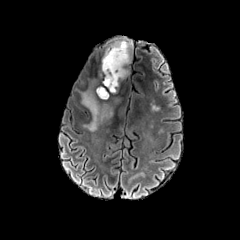
FLAIR MR image.
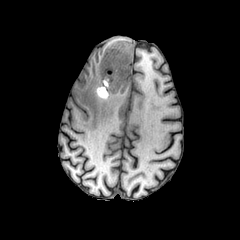
T1-weighted magnetic resonance.
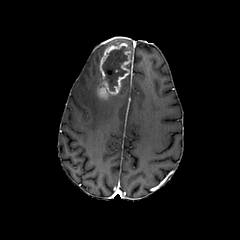
Post-contrast T1-weighted MR image of the same slice.
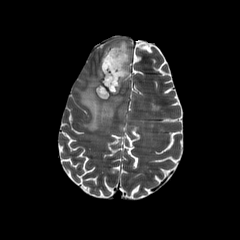
T2-weighted MR image.
Head
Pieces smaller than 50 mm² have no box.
enhancing tumor = <box>97,42,131,99</box>
necrotic tumor core = <box>102,46,127,90</box>
peritumoral edema = <box>112,40,132,50</box>, <box>77,85,121,131</box>